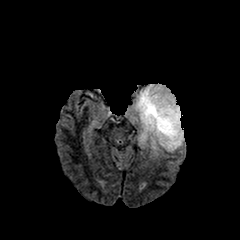
FLAIR MR.
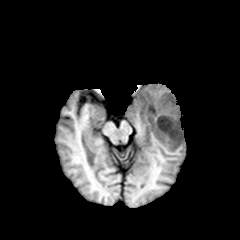
Same slice, T1-weighted MR image.
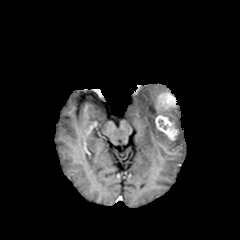
Same slice, post-contrast T1-weighted MR image.
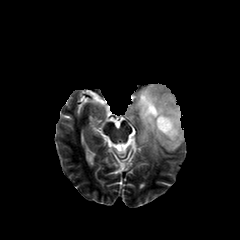
T2-weighted MRI of the same slice.
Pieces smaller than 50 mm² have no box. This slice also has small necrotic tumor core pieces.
enhancing tumor: rect(156, 92, 176, 112); rect(155, 114, 178, 140)
peritumoral edema: rect(128, 83, 184, 156)